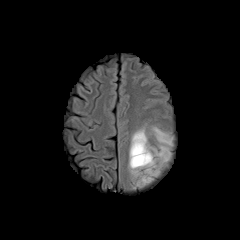
FLAIR MR image.
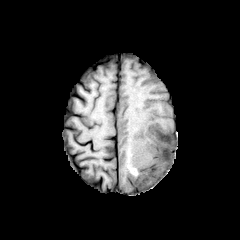
T1-weighted MRI.
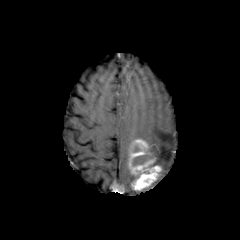
Same slice, post-contrast T1-weighted magnetic resonance.
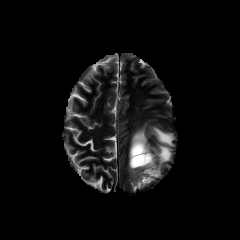
Same slice, T2-weighted MRI.
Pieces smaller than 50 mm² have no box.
Annotated regions:
• peritumoral edema: 128,123,173,182
• necrotic tumor core: 132,154,153,166
• enhancing tumor: 129,139,161,190